Slice 98 of 155, Brain
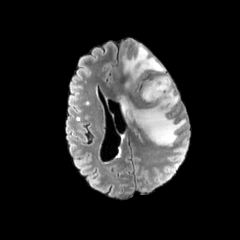
FLAIR MRI.
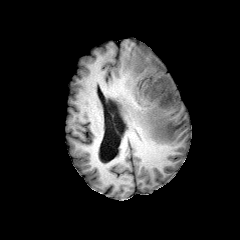
T1-weighted magnetic resonance of the same slice.
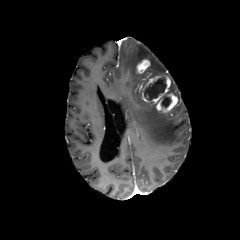
Post-contrast T1-weighted MRI of the same slice.
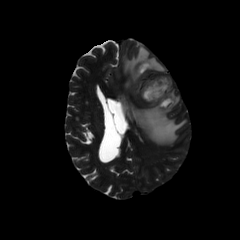
Same slice, T2-weighted MRI.
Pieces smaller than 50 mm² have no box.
2 enhancing tumor regions are located at 135 59 150 74, 140 74 178 112. 2 necrotic tumor core regions appear at 161 96 171 107, 144 77 166 100. The 2 largest peritumoral edema regions are bounded by 123 45 166 89, 119 79 185 145.